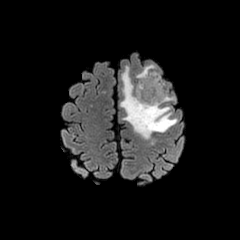
FLAIR MR image.
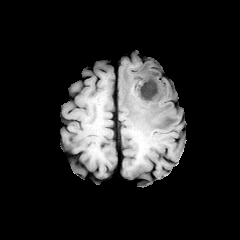
T1-weighted MR of the same slice.
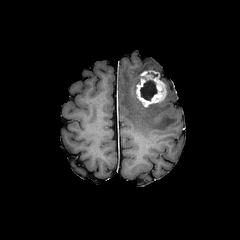
Post-contrast T1-weighted MR image of the same slice.
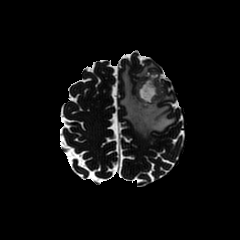
T2-weighted MRI.
Brain.
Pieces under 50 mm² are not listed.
enhancing_tumor:
  - box=[136, 70, 166, 107]
necrotic_tumor_core:
  - box=[140, 80, 157, 100]
peritumoral_edema:
  - box=[120, 65, 177, 139]
  - box=[135, 63, 156, 82]